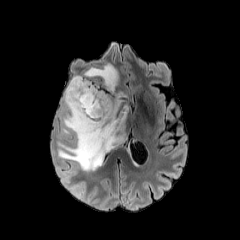
FLAIR MR.
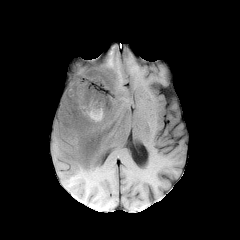
Same slice, T1-weighted MR.
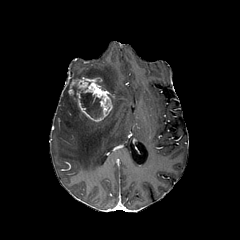
Post-contrast T1-weighted MR.
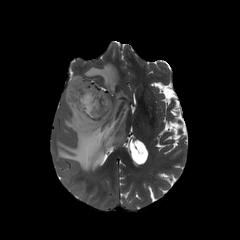
T2-weighted MR image.
Image size 240x240. Axial slice. Brain.
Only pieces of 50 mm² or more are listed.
Findings:
- necrotic tumor core: box(72, 85, 102, 118)
- peritumoral edema: box(58, 63, 128, 171)
- enhancing tumor: box(68, 77, 112, 122)